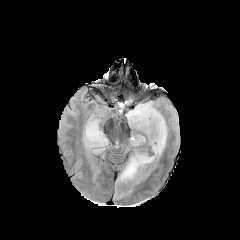
FLAIR magnetic resonance.
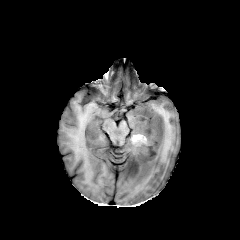
T1-weighted MRI of the same slice.
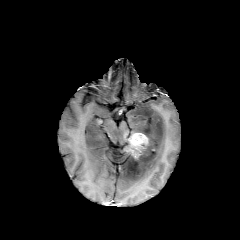
Post-contrast T1-weighted MR of the same slice.
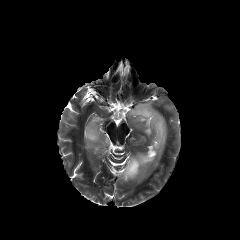
T2-weighted MR image.
Head, Axial plane, Image size 240x240
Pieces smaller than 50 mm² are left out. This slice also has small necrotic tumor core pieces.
<segmentation>
  <peritumoral_edema>83 116 108 154, 117 101 167 182</peritumoral_edema>
  <enhancing_tumor>126 133 148 158</enhancing_tumor>
</segmentation>